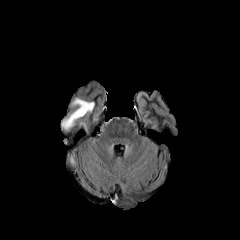
FLAIR MR.
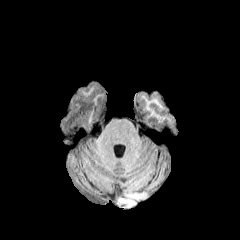
T1-weighted MRI of the same slice.
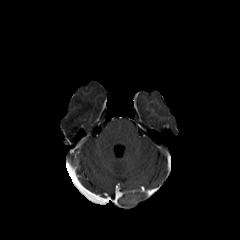
Post-contrast T1-weighted MRI of the same slice.
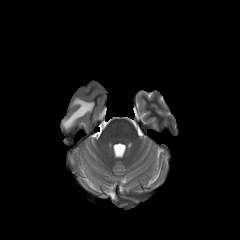
T2-weighted MRI.
Brain
peritumoral edema: 62 98 94 129